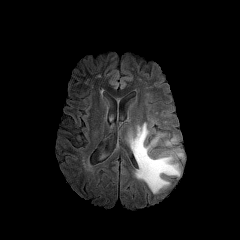
FLAIR MRI.
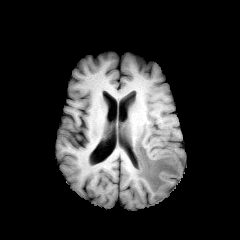
T1-weighted magnetic resonance.
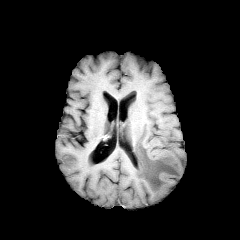
Post-contrast T1-weighted MR.
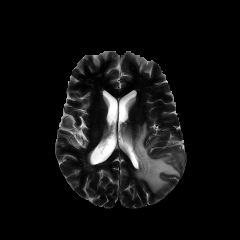
T2-weighted MRI.
Brain
<segmentation>
  <peritumoral_edema>rect(129, 123, 183, 193); rect(166, 137, 176, 146)</peritumoral_edema>
</segmentation>